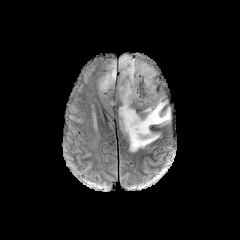
FLAIR magnetic resonance.
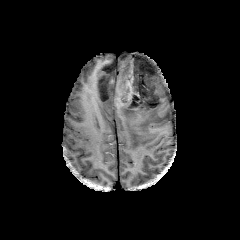
T1-weighted MRI of the same slice.
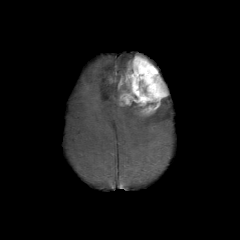
Same slice, post-contrast T1-weighted MRI.
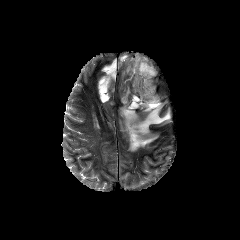
Same slice, T2-weighted MRI.
Head.
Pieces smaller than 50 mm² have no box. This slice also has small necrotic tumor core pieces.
Findings:
* enhancing tumor: bbox=[118, 54, 167, 114]
* peritumoral edema: bbox=[99, 60, 116, 97]; bbox=[119, 100, 171, 151]; bbox=[119, 55, 132, 69]